Brain; 240x240; Axial slice; Slice 87/155
FLAIR magnetic resonance.
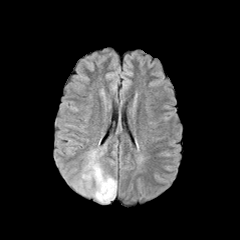
T1-weighted MR image.
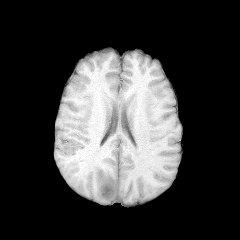
Post-contrast T1-weighted MRI.
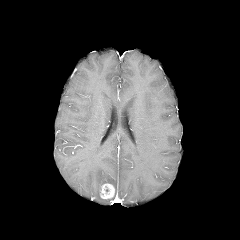
T2-weighted magnetic resonance.
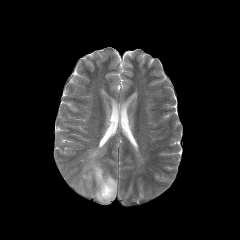
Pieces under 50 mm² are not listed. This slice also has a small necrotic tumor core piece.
The enhancing tumor lies within box(100, 183, 115, 199). The peritumoral edema is bounded by box(71, 149, 117, 203).